Slice index 84; Head
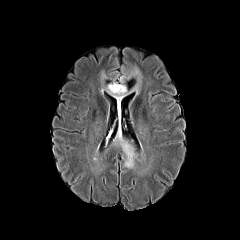
FLAIR magnetic resonance.
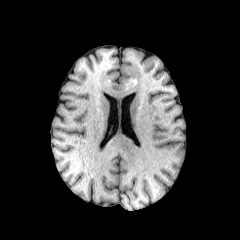
T1-weighted MR.
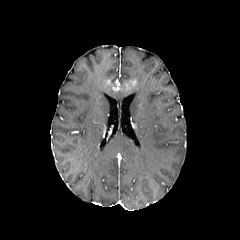
Same slice, post-contrast T1-weighted MRI.
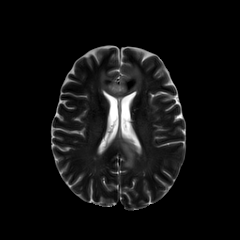
T2-weighted MR image.
peritumoral edema: l=100, t=66, r=141, b=103; l=113, t=128, r=136, b=168
enhancing tumor: l=110, t=83, r=123, b=91